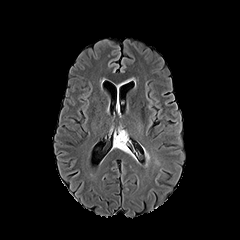
FLAIR magnetic resonance.
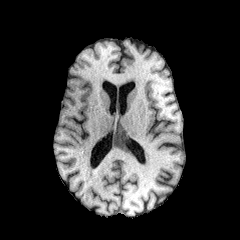
T1-weighted magnetic resonance.
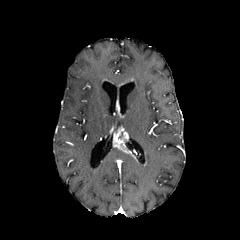
Post-contrast T1-weighted magnetic resonance of the same slice.
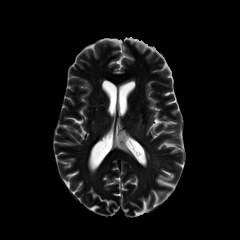
Same slice, T2-weighted MR.
Head, 240x240 px, Axial slice
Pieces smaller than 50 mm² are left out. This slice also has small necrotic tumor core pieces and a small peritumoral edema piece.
The enhancing tumor is at [x1=113, y1=127, x2=132, y2=154].